FLAIR MR.
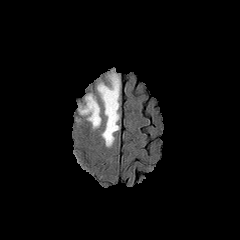
T1-weighted MR image.
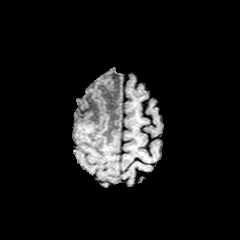
Post-contrast T1-weighted magnetic resonance.
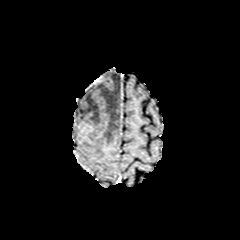
T2-weighted magnetic resonance.
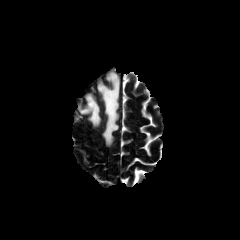
Image size 240x240, Axial slice
{
  "peritumoral_edema": [
    {"x1": 78, "y1": 94, "x2": 101, "y2": 128},
    {"x1": 97, "y1": 72, "x2": 120, "y2": 146}
  ]
}